Slice 87 of 155, Image size 240x240, Brain
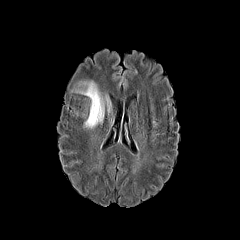
FLAIR MR.
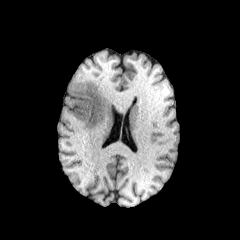
Same slice, T1-weighted MR.
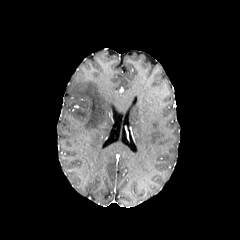
Same slice, post-contrast T1-weighted MR.
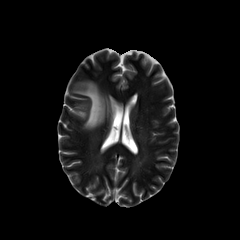
Same slice, T2-weighted MR.
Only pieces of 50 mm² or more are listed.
peritumoral_edema:
  - (left=75, top=81, right=110, bottom=128)